Axial slice | 240x240 px
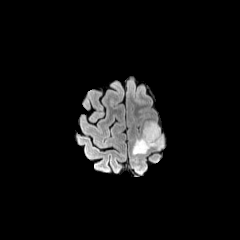
FLAIR MRI.
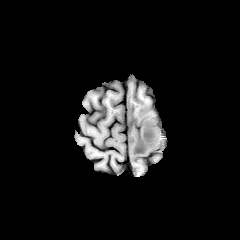
T1-weighted MR image.
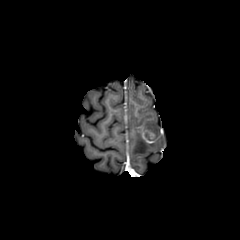
Post-contrast T1-weighted MR image of the same slice.
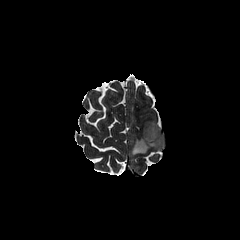
T2-weighted MR of the same slice.
enhancing tumor: [x1=143, y1=133, x2=154, y2=143] | peritumoral edema: [x1=132, y1=121, x2=163, y2=154]